FLAIR MR.
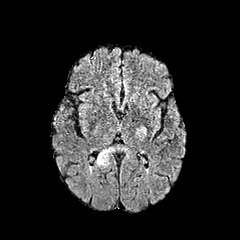
T1-weighted magnetic resonance.
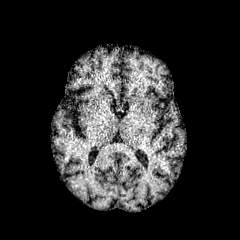
Post-contrast T1-weighted MR image.
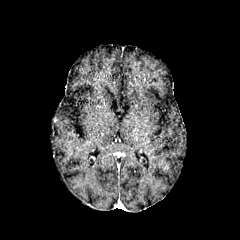
T2-weighted MRI.
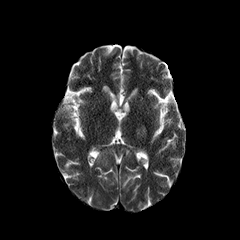
Axial slice. Head.
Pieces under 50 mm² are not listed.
* peritumoral edema: box(136, 127, 146, 137); box(96, 148, 114, 166)